Axial view
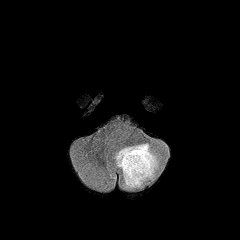
FLAIR magnetic resonance.
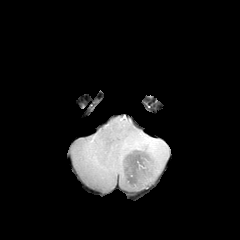
T1-weighted MR of the same slice.
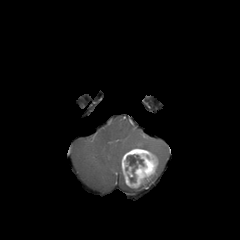
Post-contrast T1-weighted MR.
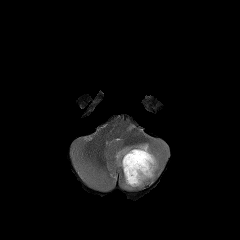
T2-weighted MR image.
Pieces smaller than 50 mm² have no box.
enhancing tumor at [121,148,157,187]
peritumoral edema at [114,143,163,189]
necrotic tumor core at [126,155,143,182]